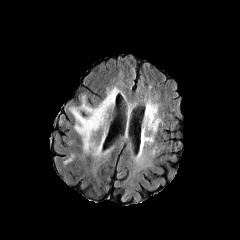
FLAIR MR.
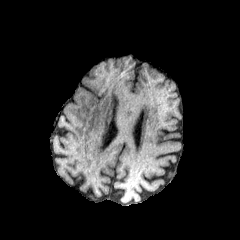
T1-weighted MR of the same slice.
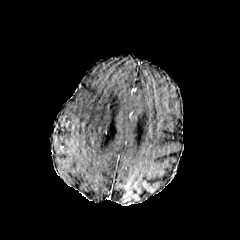
Post-contrast T1-weighted MR.
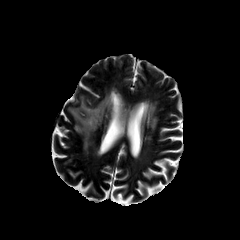
Same slice, T2-weighted magnetic resonance.
Axial plane. Brain.
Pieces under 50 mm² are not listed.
<segmentation>
  <peritumoral_edema>70,86,119,156</peritumoral_edema>
</segmentation>